Axial slice. Image width 240 mm. Slice index 79.
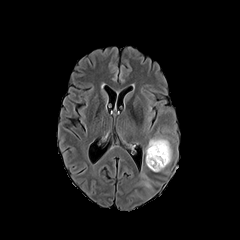
FLAIR MR.
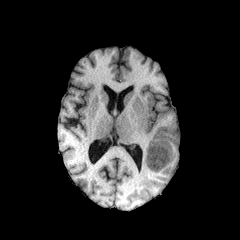
Same slice, T1-weighted MR image.
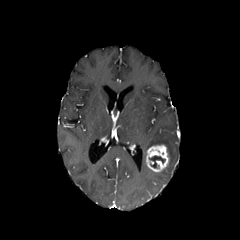
Post-contrast T1-weighted MR image.
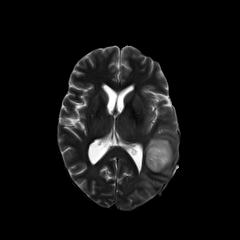
T2-weighted magnetic resonance.
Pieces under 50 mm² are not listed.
necrotic_tumor_core:
  - (149, 156, 165, 168)
peritumoral_edema:
  - (145, 137, 172, 163)
enhancing_tumor:
  - (146, 144, 169, 171)